Image size 240x240, Image covers 240 mm x 240 mm, Brain
FLAIR magnetic resonance.
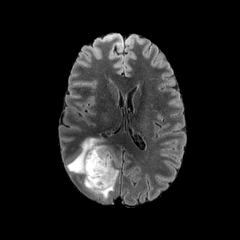
T1-weighted MRI.
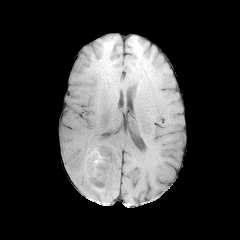
Post-contrast T1-weighted MRI.
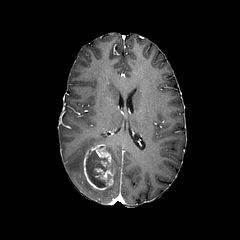
T2-weighted MRI.
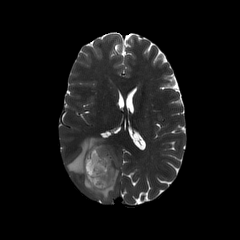
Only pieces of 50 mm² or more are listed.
necrotic tumor core = box=[86, 150, 107, 187]
enhancing tumor = box=[83, 144, 116, 190]
peritumoral edema = box=[66, 137, 119, 199]